FLAIR magnetic resonance.
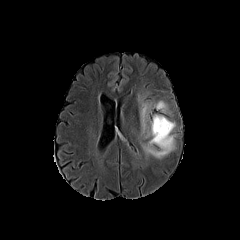
T1-weighted MRI.
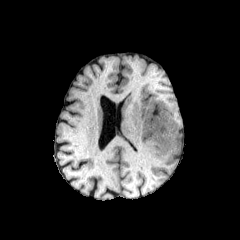
Post-contrast T1-weighted MR.
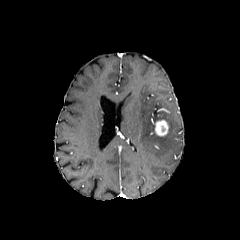
T2-weighted MR.
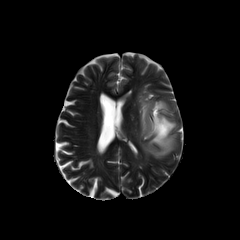
Head; 240x240; Axial slice
peritumoral edema at <box>139,96,151,133</box>, <box>155,101,167,108</box>, <box>143,115,176,158</box>
enhancing tumor at <box>154,119,169,136</box>